FLAIR MR image.
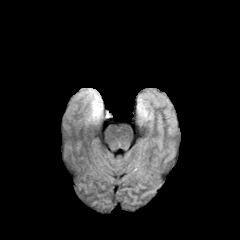
T1-weighted MR image.
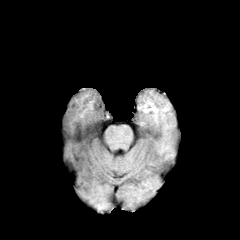
Post-contrast T1-weighted magnetic resonance.
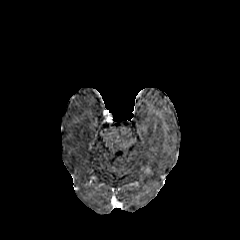
T2-weighted magnetic resonance.
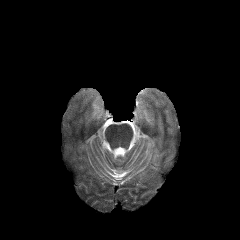
2 peritumoral edema regions appear at 137,101,152,120; 79,88,102,121.